Brain, Image size 240x240, Slice 130/155, Axial slice
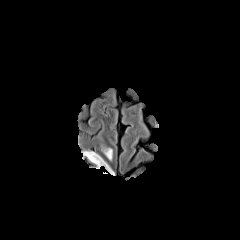
FLAIR MR image.
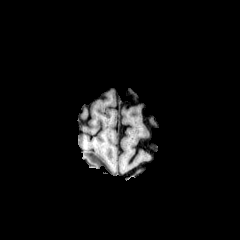
T1-weighted MRI.
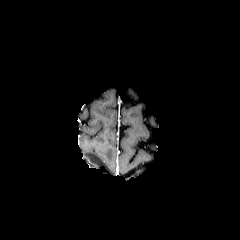
Post-contrast T1-weighted MR image of the same slice.
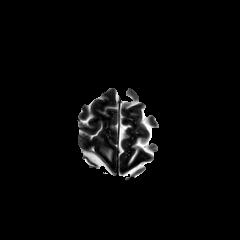
T2-weighted MRI.
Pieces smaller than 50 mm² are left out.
{"peritumoral_edema": ["(left=104, top=148, right=112, bottom=160)", "(left=83, top=151, right=114, bottom=175)"]}